FLAIR MR image.
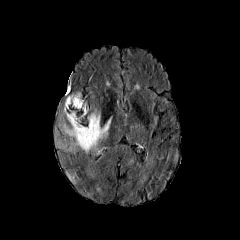
T1-weighted magnetic resonance.
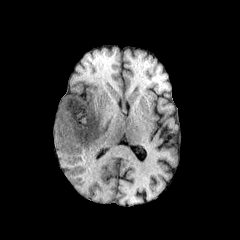
Post-contrast T1-weighted MRI.
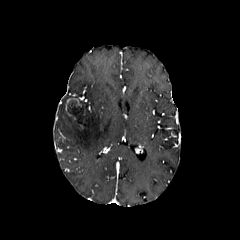
T2-weighted MR image.
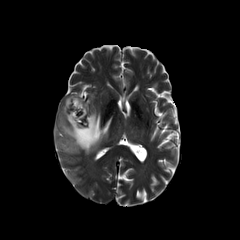
Axial plane.
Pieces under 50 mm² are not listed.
enhancing tumor: bbox(65, 98, 81, 116) | peritumoral edema: bbox(59, 105, 111, 153); bbox(57, 140, 67, 148) | necrotic tumor core: bbox(67, 101, 87, 124)